FLAIR MRI.
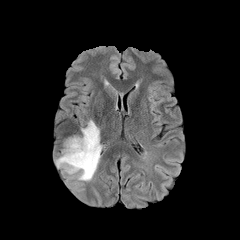
T1-weighted MR.
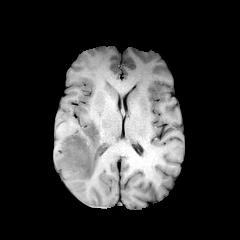
Post-contrast T1-weighted MR image.
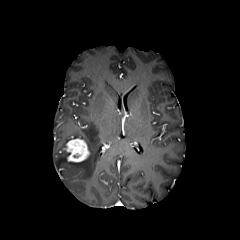
T2-weighted MRI.
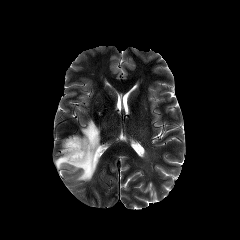
Brain; 240x240 px
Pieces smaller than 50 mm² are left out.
The largest peritumoral edema region is at bbox(55, 120, 101, 181). The enhancing tumor lies within bbox(64, 137, 89, 162).